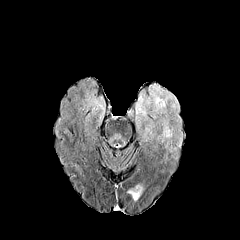
FLAIR MR image.
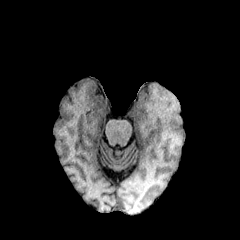
Same slice, T1-weighted magnetic resonance.
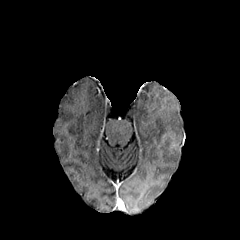
Post-contrast T1-weighted magnetic resonance of the same slice.
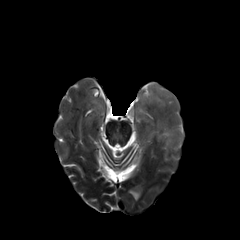
T2-weighted MR image of the same slice.
240x240
peritumoral edema — 128 188 141 200, 136 85 182 159